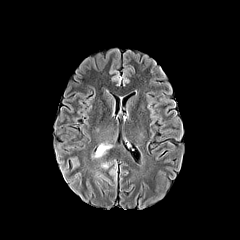
FLAIR MR.
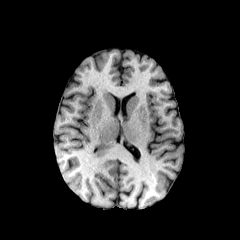
T1-weighted MR.
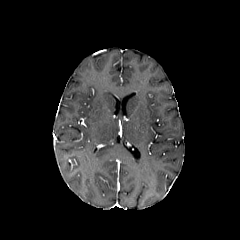
Post-contrast T1-weighted MRI of the same slice.
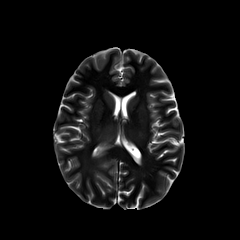
T2-weighted magnetic resonance.
Brain; Axial plane
peritumoral edema — (92,151,106,158), (100,162,110,168)